Brain | Image width 240 mm
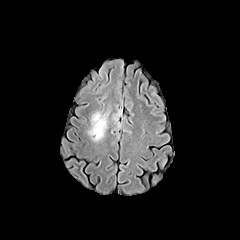
FLAIR MRI.
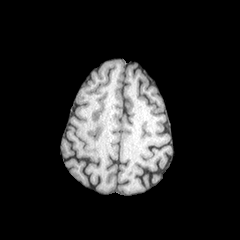
T1-weighted MRI.
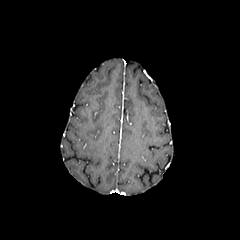
Same slice, post-contrast T1-weighted MR.
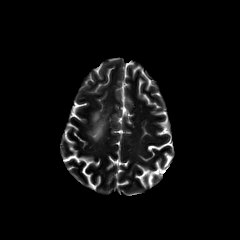
T2-weighted magnetic resonance.
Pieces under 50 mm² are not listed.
<segmentation>
  <peritumoral_edema>l=88, t=112, r=108, b=141</peritumoral_edema>
</segmentation>